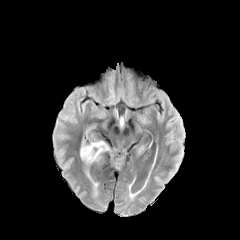
FLAIR MR.
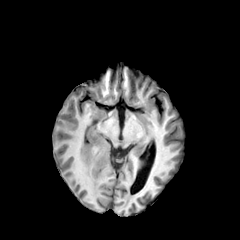
Same slice, T1-weighted MR image.
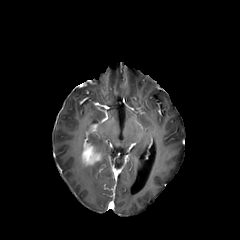
Post-contrast T1-weighted magnetic resonance of the same slice.
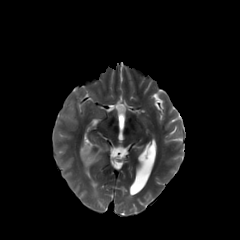
T2-weighted MR image.
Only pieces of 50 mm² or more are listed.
peritumoral edema: region(91, 141, 107, 152) | enhancing tumor: region(81, 143, 101, 165)